Slice 86/155 | Head
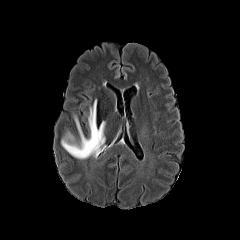
FLAIR magnetic resonance.
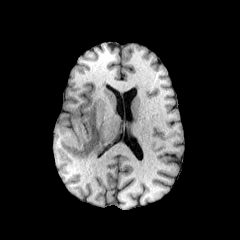
Same slice, T1-weighted MR.
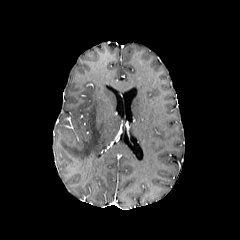
Post-contrast T1-weighted MR image of the same slice.
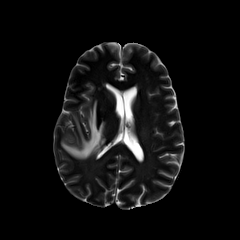
T2-weighted MR image of the same slice.
- peritumoral edema: [61, 99, 105, 159]